Image width 240 mm; Axial view
FLAIR MRI.
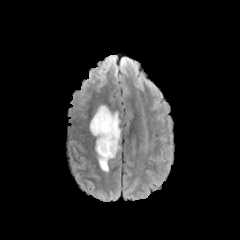
T1-weighted MR image.
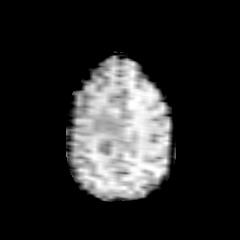
Post-contrast T1-weighted MR.
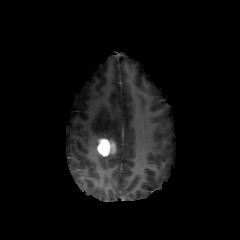
T2-weighted MR.
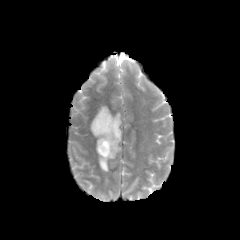
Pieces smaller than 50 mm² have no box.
enhancing tumor at bbox=[97, 138, 115, 156]
peritumoral edema at bbox=[90, 105, 120, 171]